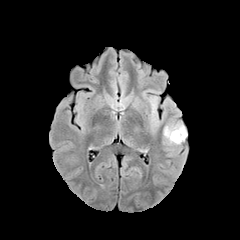
FLAIR magnetic resonance.
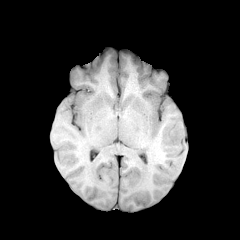
Same slice, T1-weighted MR.
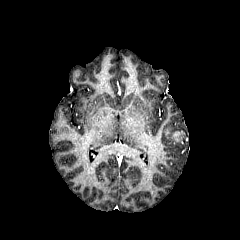
Post-contrast T1-weighted MRI.
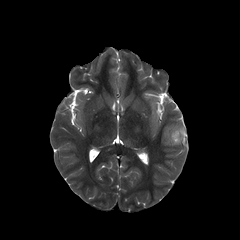
T2-weighted MR.
Image size 240x240. Brain.
* peritumoral edema: l=163, t=123, r=186, b=145
* enhancing tumor: l=173, t=131, r=182, b=140